Brain
FLAIR MRI.
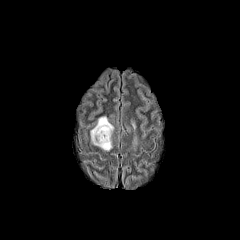
T1-weighted MR.
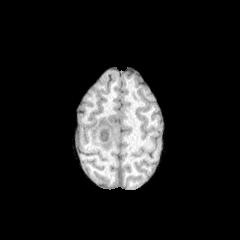
Post-contrast T1-weighted MRI.
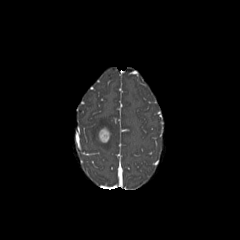
T2-weighted magnetic resonance.
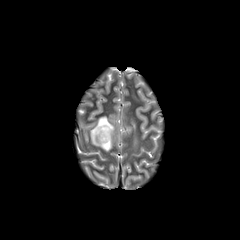
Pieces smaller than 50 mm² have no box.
The enhancing tumor is at 98,127,110,142. The largest peritumoral edema region lies within 90,116,114,151.